240x240 px; Head
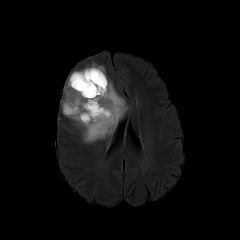
FLAIR MR image.
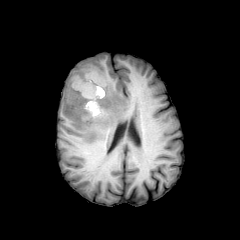
Same slice, T1-weighted MR.
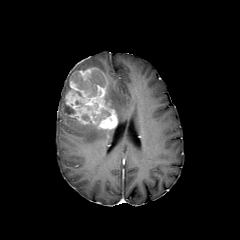
Same slice, post-contrast T1-weighted MR image.
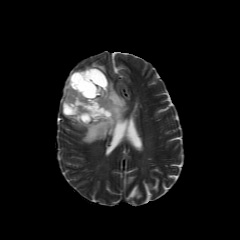
T2-weighted MR.
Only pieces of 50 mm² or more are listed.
Segmented structures:
* necrotic tumor core: box=[71, 70, 105, 95]; box=[63, 103, 74, 114]
* peritumoral edema: box=[82, 62, 106, 76]; box=[61, 77, 114, 143]; box=[105, 77, 128, 122]
* enhancing tumor: box=[65, 67, 117, 129]